FLAIR magnetic resonance.
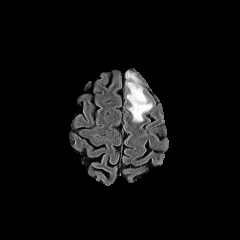
T1-weighted MR.
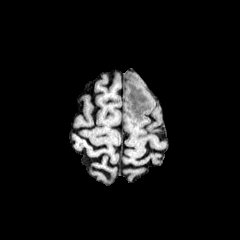
Post-contrast T1-weighted MRI.
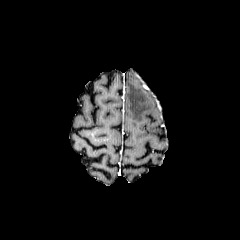
T2-weighted magnetic resonance.
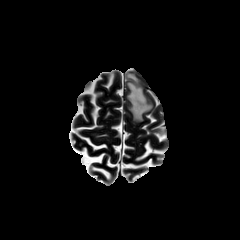
Axial plane; Brain
peritumoral edema: {"x1": 126, "y1": 72, "x2": 152, "y2": 122}